FLAIR MR image.
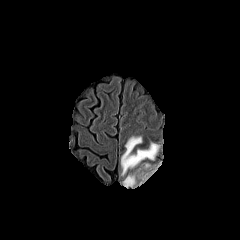
T1-weighted MR.
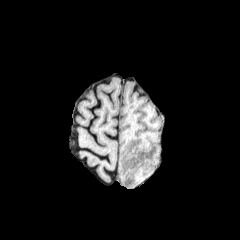
Post-contrast T1-weighted MR image.
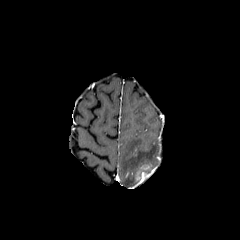
T2-weighted MR image.
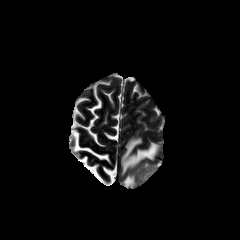
Brain, 240x240 px
2 peritumoral edema regions are located at 123 174 135 187, 121 137 158 175. The enhancing tumor is located at 135 163 154 183.